FLAIR MR image.
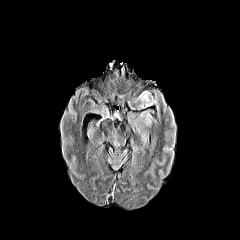
T1-weighted MR image.
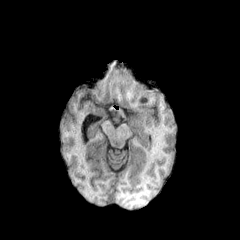
Post-contrast T1-weighted MR image.
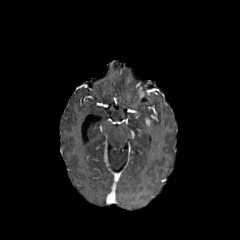
T2-weighted magnetic resonance.
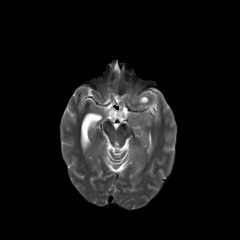
Axial plane | Head
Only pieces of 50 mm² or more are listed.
enhancing tumor = x1=138 y1=86 x2=144 y2=99
peritumoral edema = x1=138 y1=109 x2=152 y2=120, x1=140 y1=90 x2=151 y2=107